Axial slice; 240x240; Head; Slice 82/155
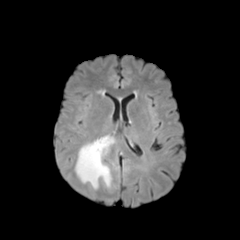
FLAIR MR.
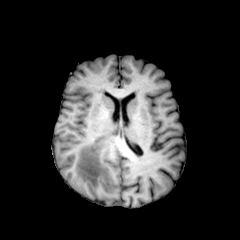
Same slice, T1-weighted MR image.
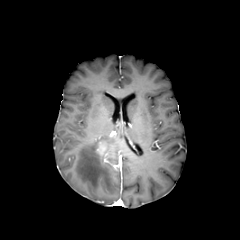
Same slice, post-contrast T1-weighted MR image.
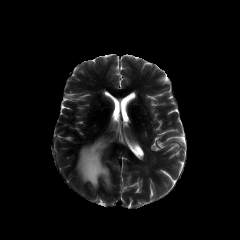
Same slice, T2-weighted MR.
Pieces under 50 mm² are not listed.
enhancing tumor: bounding box [97, 142, 105, 154]
peritumoral edema: bounding box [75, 135, 114, 189]